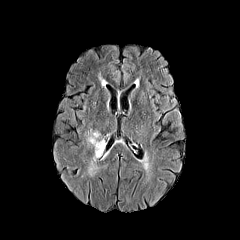
FLAIR MR.
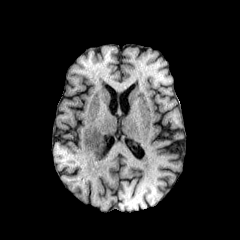
T1-weighted MR.
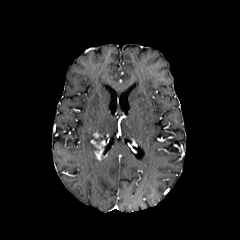
Post-contrast T1-weighted MR of the same slice.
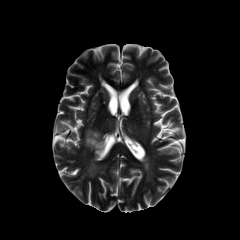
T2-weighted MR of the same slice.
Brain. Axial view.
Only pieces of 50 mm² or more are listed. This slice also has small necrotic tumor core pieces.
Segmented structures:
- enhancing tumor: (90,140,106,160)
- peritumoral edema: (87,156,99,177), (87,129,99,145)